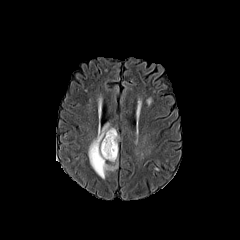
FLAIR MR image.
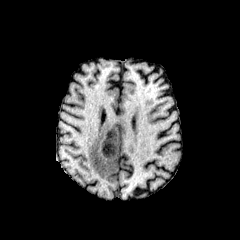
T1-weighted magnetic resonance.
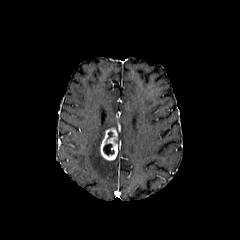
Post-contrast T1-weighted MRI of the same slice.
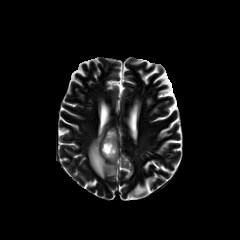
T2-weighted MRI.
240x240 px.
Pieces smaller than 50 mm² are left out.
enhancing tumor: box(100, 128, 117, 160) | necrotic tumor core: box(103, 143, 114, 155) | peritumoral edema: box(88, 123, 118, 179)